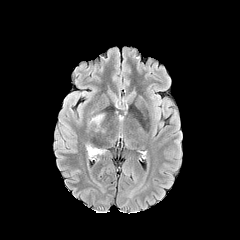
FLAIR MRI.
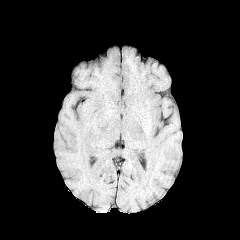
Same slice, T1-weighted MR image.
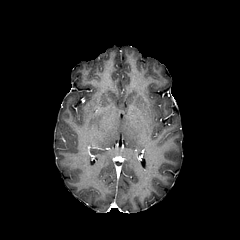
Same slice, post-contrast T1-weighted MR image.
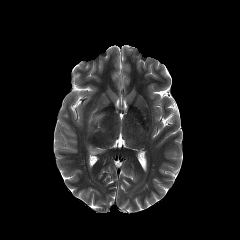
Same slice, T2-weighted MRI.
Axial view; Brain
2 peritumoral edema regions are bounded by <box>86,145,104,155</box>, <box>89,114,104,126</box>.